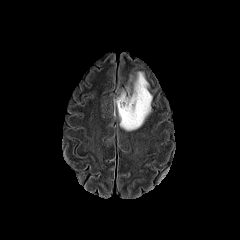
FLAIR MRI.
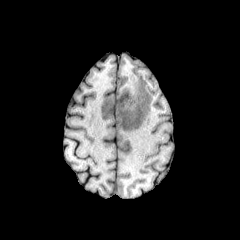
T1-weighted magnetic resonance of the same slice.
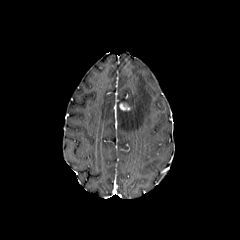
Post-contrast T1-weighted magnetic resonance.
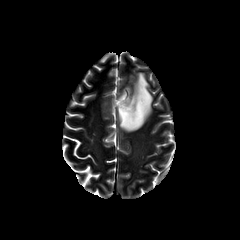
Same slice, T2-weighted MRI.
240x240 px. Axial view.
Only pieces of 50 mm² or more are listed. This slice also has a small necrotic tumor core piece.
• enhancing tumor: (left=119, top=103, right=129, bottom=110)
• peritumoral edema: (left=117, top=72, right=152, bottom=131)